Image width 240 mm. Brain. Slice index 52.
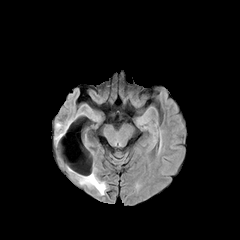
FLAIR magnetic resonance.
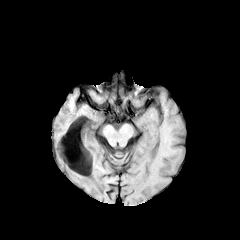
T1-weighted MR image of the same slice.
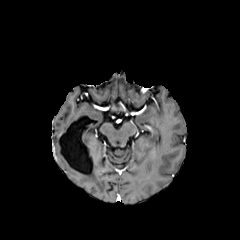
Same slice, post-contrast T1-weighted magnetic resonance.
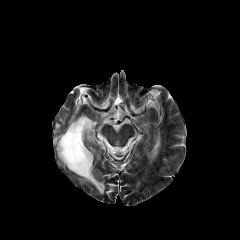
T2-weighted MRI.
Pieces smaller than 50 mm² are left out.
The largest peritumoral edema region lies within 79:172:105:194.